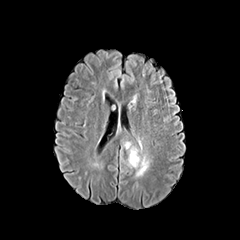
FLAIR magnetic resonance.
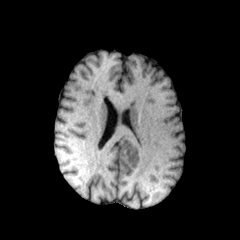
T1-weighted MRI of the same slice.
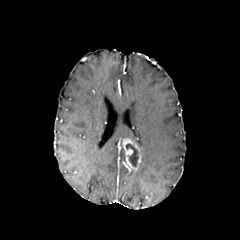
Post-contrast T1-weighted magnetic resonance of the same slice.
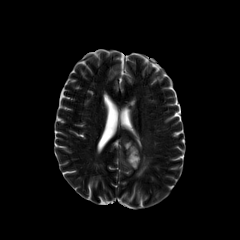
Same slice, T2-weighted MRI.
240x240 px | Brain
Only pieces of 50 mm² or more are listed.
Segmented structures:
- necrotic tumor core: box(126, 144, 138, 166)
- enhancing tumor: box(122, 139, 140, 170)
- peritumoral edema: box(136, 155, 149, 176)